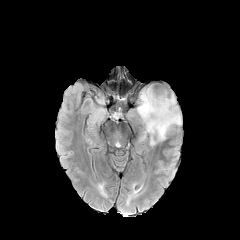
FLAIR MRI.
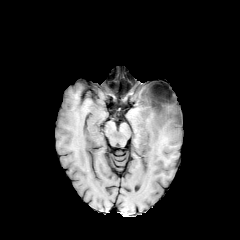
Same slice, T1-weighted MRI.
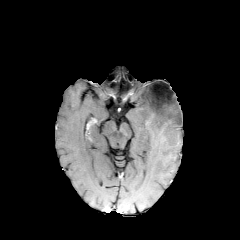
Post-contrast T1-weighted MR image.
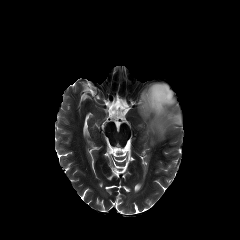
T2-weighted MR image.
<segmentation>
  <necrotic_tumor_core>left=144, top=84, right=173, bottom=116</necrotic_tumor_core>
  <peritumoral_edema>left=137, top=87, right=182, bottom=145</peritumoral_edema>
</segmentation>